FLAIR MR image.
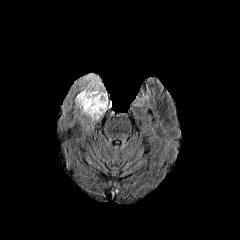
T1-weighted MRI.
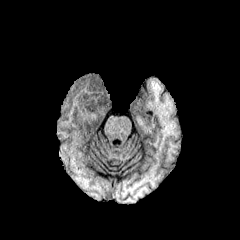
Post-contrast T1-weighted MR.
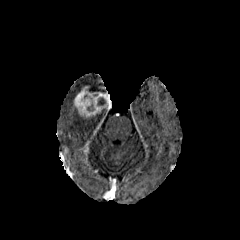
T2-weighted MR.
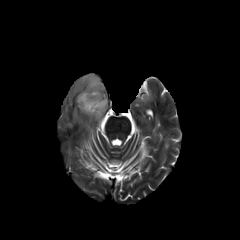
Axial view
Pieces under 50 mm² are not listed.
Annotated regions:
* enhancing tumor: x1=74, y1=86, x2=111, y2=116
* peritumoral edema: x1=86, y1=109, x2=106, y2=119; x1=78, y1=73, x2=106, y2=91
* necrotic tumor core: x1=97, y1=98, x2=105, y2=105